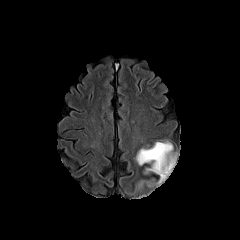
FLAIR magnetic resonance.
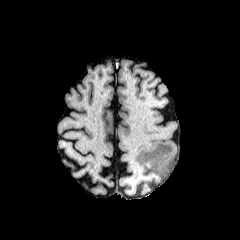
T1-weighted MR.
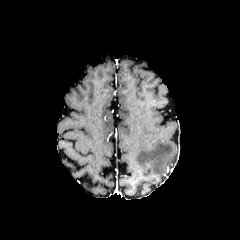
Post-contrast T1-weighted MR image of the same slice.
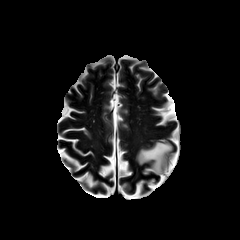
Same slice, T2-weighted MR image.
Axial view; Image size 240x240
{
  "peritumoral_edema": [
    "(x1=136, y1=140, x2=177, y2=184)"
  ]
}